240x240. Head. Axial slice.
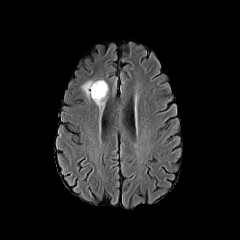
FLAIR MR.
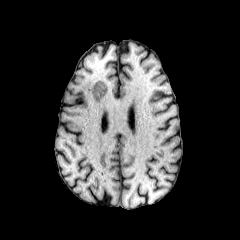
T1-weighted MR image.
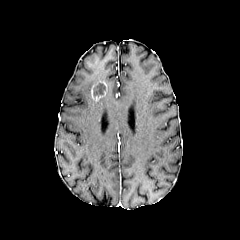
Same slice, post-contrast T1-weighted MRI.
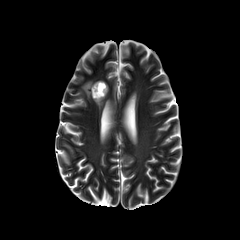
Same slice, T2-weighted MR image.
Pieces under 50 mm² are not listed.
necrotic tumor core — {"x1": 93, "y1": 83, "x2": 105, "y2": 96}
enhancing tumor — {"x1": 91, "y1": 80, "x2": 107, "y2": 101}
peritumoral edema — {"x1": 95, "y1": 92, "x2": 107, "y2": 109}, {"x1": 81, "y1": 81, "x2": 97, "y2": 98}